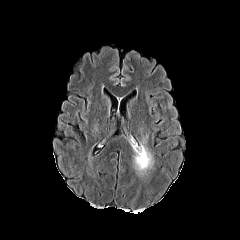
FLAIR MR.
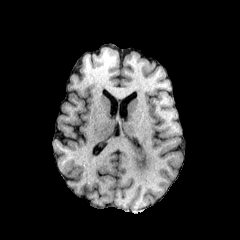
T1-weighted MR of the same slice.
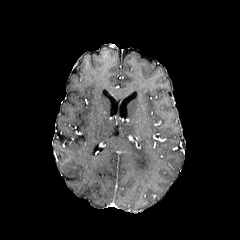
Post-contrast T1-weighted magnetic resonance.
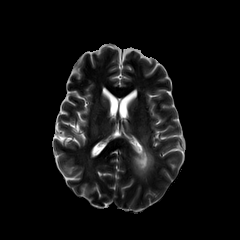
T2-weighted MR.
Axial view | Head | 240x240
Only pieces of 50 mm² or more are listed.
The largest peritumoral edema region is at (131, 143, 153, 173).